FLAIR magnetic resonance.
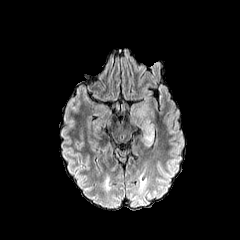
T1-weighted MR image.
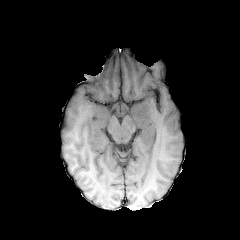
Post-contrast T1-weighted MR image.
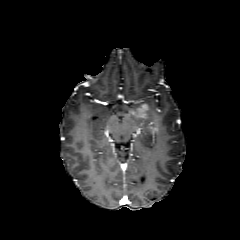
T2-weighted magnetic resonance.
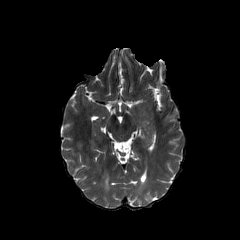
Brain, Axial slice
- enhancing tumor: box(132, 104, 148, 117)
- peritumoral edema: box(138, 109, 154, 122)